FLAIR MR.
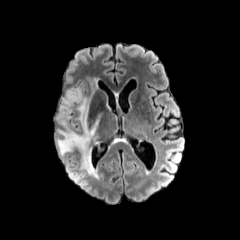
T1-weighted MR.
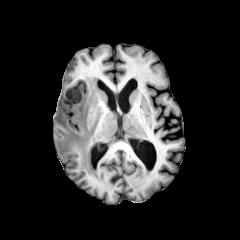
Post-contrast T1-weighted MR image.
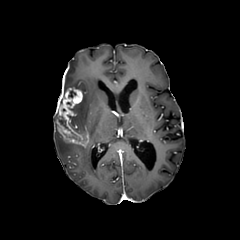
T2-weighted MRI.
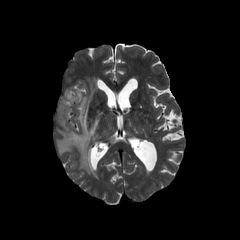
240x240 px. Head.
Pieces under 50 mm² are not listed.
* peritumoral edema: x1=57 y1=79 x2=98 y2=178
* necrotic tumor core: x1=58 y1=116 x2=70 y2=130
* enhancing tumor: x1=56 y1=88 x2=89 y2=147